Brain | Slice 110/155
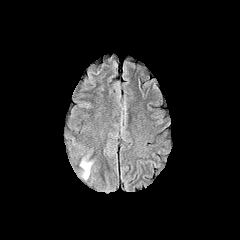
FLAIR magnetic resonance.
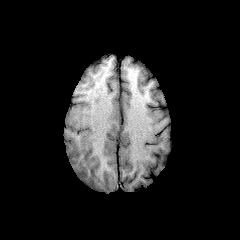
Same slice, T1-weighted MR image.
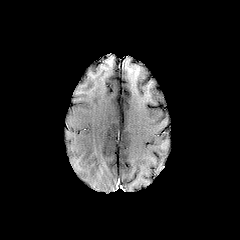
Post-contrast T1-weighted MRI.
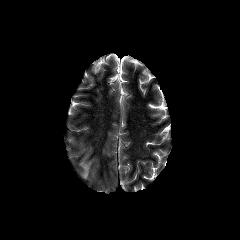
T2-weighted MRI of the same slice.
{
  "peritumoral_edema": [
    "80 162 90 179"
  ]
}